FLAIR MR.
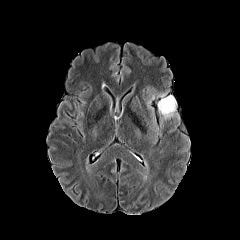
T1-weighted MRI.
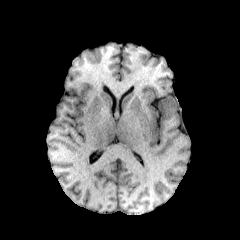
Post-contrast T1-weighted MRI.
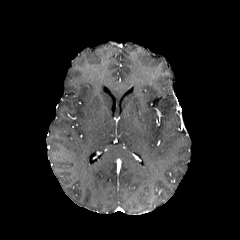
T2-weighted MRI.
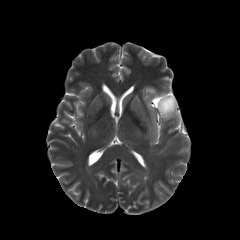
Brain
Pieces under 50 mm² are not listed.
peritumoral_edema:
  - rect(158, 95, 177, 118)